Image size 240x240, Slice index 78, Brain
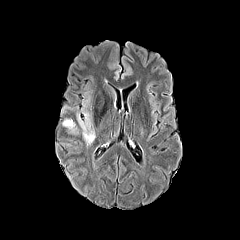
FLAIR MRI.
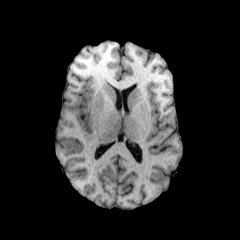
T1-weighted MR image of the same slice.
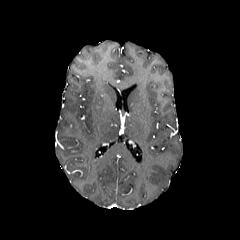
Post-contrast T1-weighted MR.
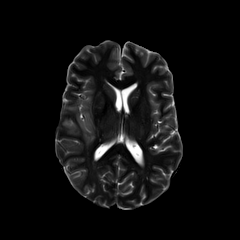
T2-weighted MRI of the same slice.
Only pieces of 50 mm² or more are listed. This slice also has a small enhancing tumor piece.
peritumoral edema = (x1=62, y1=120, x2=74, y2=130), (x1=77, y1=111, x2=95, y2=145)